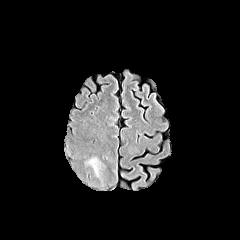
FLAIR MRI.
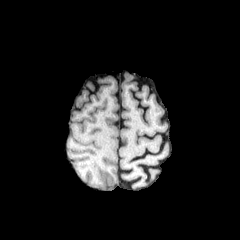
T1-weighted MR.
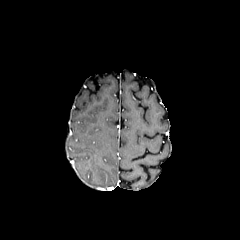
Post-contrast T1-weighted magnetic resonance.
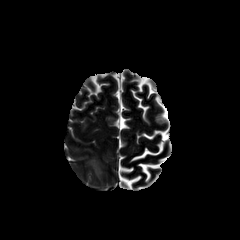
Same slice, T2-weighted MRI.
Brain.
The peritumoral edema is bounded by x1=85, y1=155, x2=106, y2=177.